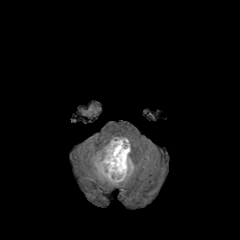
FLAIR MRI.
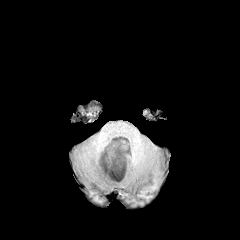
Same slice, T1-weighted MRI.
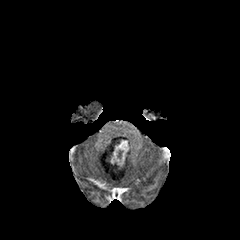
Post-contrast T1-weighted MRI of the same slice.
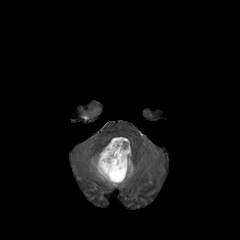
T2-weighted magnetic resonance.
240x240; Head; Axial view
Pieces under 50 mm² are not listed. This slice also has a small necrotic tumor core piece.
The enhancing tumor lies within (103, 139, 129, 180). The peritumoral edema is located at (91, 137, 134, 185).